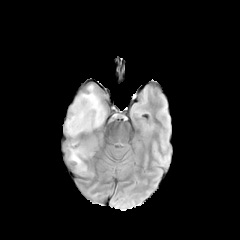
FLAIR magnetic resonance.
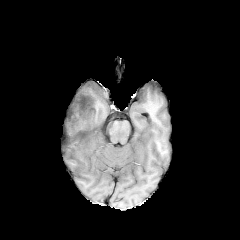
T1-weighted MRI.
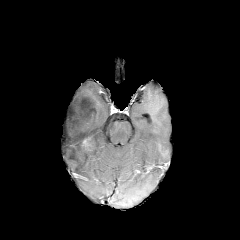
Post-contrast T1-weighted MR image.
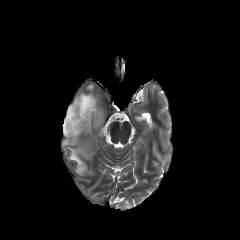
T2-weighted magnetic resonance.
Brain
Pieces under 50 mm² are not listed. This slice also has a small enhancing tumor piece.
peritumoral edema: 63:82:107:175